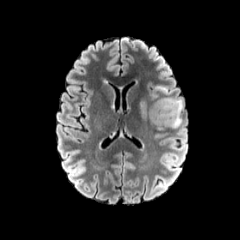
FLAIR MRI.
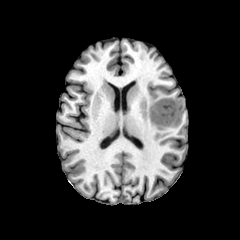
T1-weighted MR image.
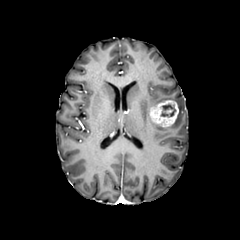
Post-contrast T1-weighted MR.
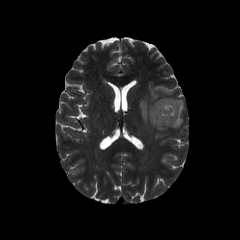
T2-weighted MR.
Head; Axial plane
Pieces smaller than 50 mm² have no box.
<segmentation>
  <enhancing_tumor>box(149, 100, 178, 126)</enhancing_tumor>
  <peritumoral_edema>box(141, 103, 146, 117); box(156, 87, 173, 94); box(156, 98, 183, 128)</peritumoral_edema>
  <necrotic_tumor_core>box(161, 104, 175, 116)</necrotic_tumor_core>
</segmentation>